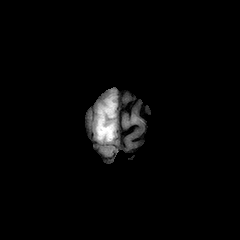
FLAIR MR.
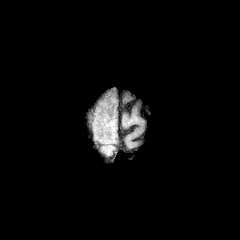
T1-weighted MR.
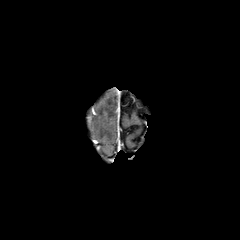
Post-contrast T1-weighted MRI.
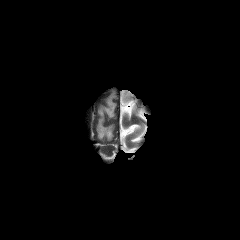
T2-weighted MRI.
Brain, 240x240
• peritumoral edema: {"x1": 97, "y1": 97, "x2": 115, "y2": 140}